FLAIR MR image.
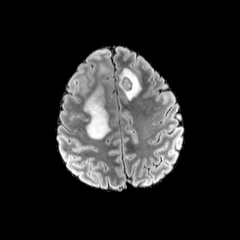
T1-weighted MR image.
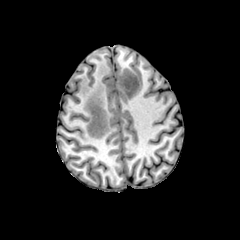
Post-contrast T1-weighted MR.
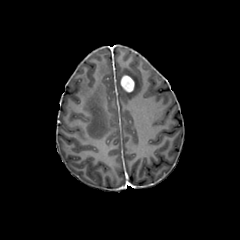
T2-weighted MR.
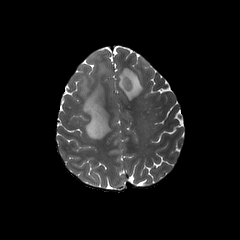
Brain
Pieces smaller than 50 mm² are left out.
enhancing_tumor:
  - 120, 75, 134, 92
peritumoral_edema:
  - 79, 61, 110, 139
  - 119, 66, 143, 99
necrotic_tumor_core:
  - 124, 77, 132, 90